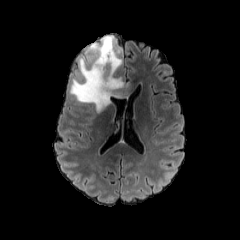
FLAIR MR image.
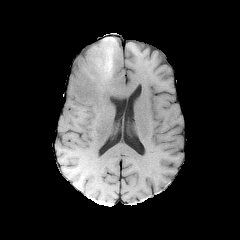
T1-weighted MRI.
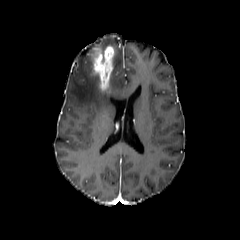
Post-contrast T1-weighted MR image.
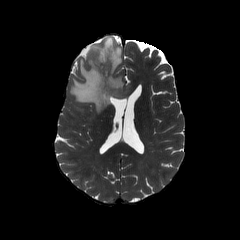
T2-weighted MRI of the same slice.
Axial plane; Brain
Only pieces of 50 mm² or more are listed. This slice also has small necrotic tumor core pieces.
The peritumoral edema is located at [70, 36, 132, 113]. The enhancing tumor is at [90, 45, 115, 92].